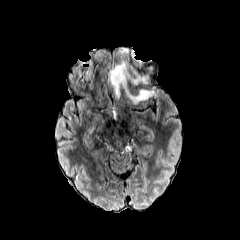
FLAIR magnetic resonance.
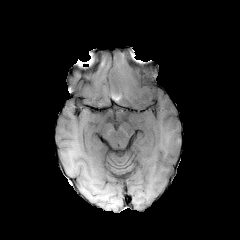
T1-weighted MRI of the same slice.
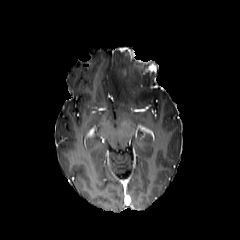
Post-contrast T1-weighted MR image of the same slice.
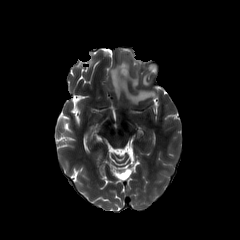
T2-weighted magnetic resonance.
Axial view
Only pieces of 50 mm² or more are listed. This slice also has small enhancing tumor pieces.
peritumoral edema — 109 61 155 103